Axial view. Image size 240x240.
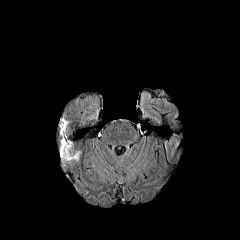
FLAIR MR image.
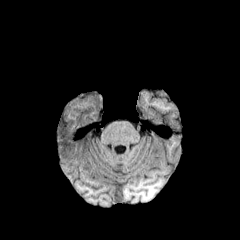
T1-weighted magnetic resonance.
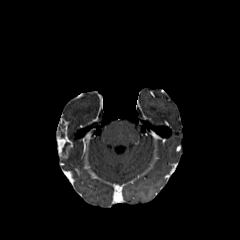
Post-contrast T1-weighted MR image.
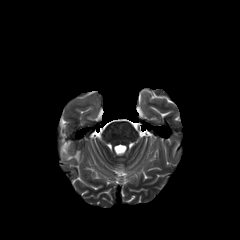
T2-weighted MR image.
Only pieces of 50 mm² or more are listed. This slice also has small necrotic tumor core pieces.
enhancing tumor = 57,118,72,158
peritumoral edema = 62,151,80,162